Image width 240 mm, 1.00 mm slice spacing; Axial view; Brain
FLAIR MR.
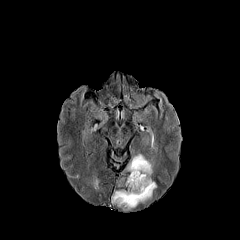
T1-weighted magnetic resonance.
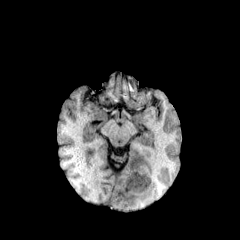
Post-contrast T1-weighted MRI.
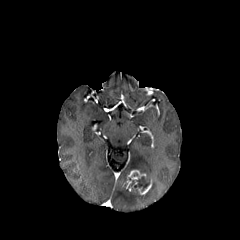
T2-weighted MRI.
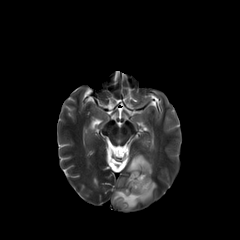
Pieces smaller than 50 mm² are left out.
2 enhancing tumor regions are located at bbox=[123, 170, 146, 188]; bbox=[129, 179, 152, 194]. The 2 largest peritumoral edema regions are located at bbox=[111, 181, 156, 209]; bbox=[127, 154, 152, 178]. The largest necrotic tumor core region lies within bbox=[134, 176, 150, 191].